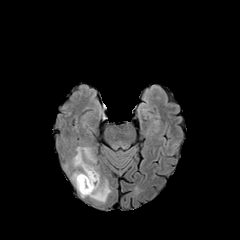
FLAIR MRI.
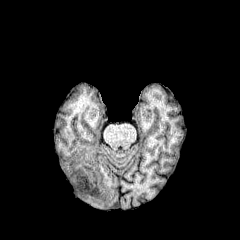
T1-weighted MR image of the same slice.
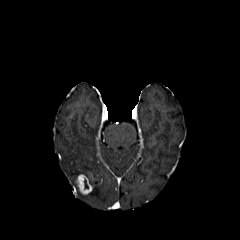
Post-contrast T1-weighted MR image of the same slice.
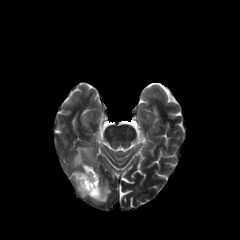
Same slice, T2-weighted MR.
Brain
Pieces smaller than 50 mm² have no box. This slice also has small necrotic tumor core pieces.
• peritumoral edema: x1=73, y1=147, x2=110, y2=202
• enhancing tumor: x1=76, y1=173, x2=96, y2=194